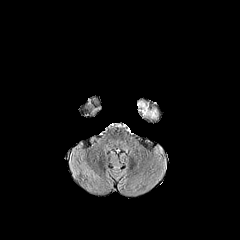
FLAIR MRI.
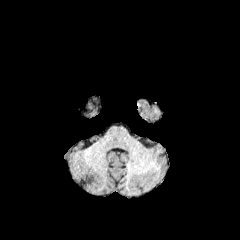
T1-weighted MRI of the same slice.
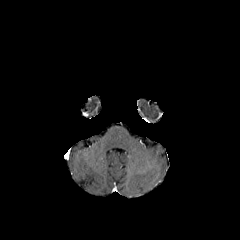
Post-contrast T1-weighted MR.
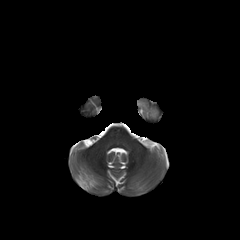
Same slice, T2-weighted MR.
Head | 240x240 px
peritumoral edema — rect(138, 100, 158, 119)